Axial view; Brain; Slice index 73
FLAIR MR.
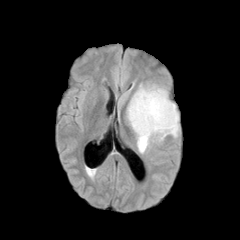
T1-weighted MR image.
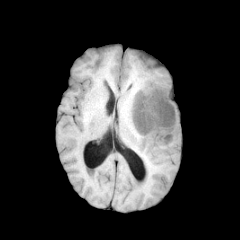
Post-contrast T1-weighted MR image.
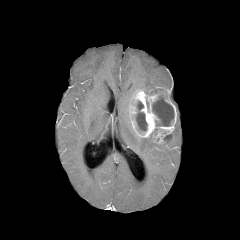
T2-weighted MRI.
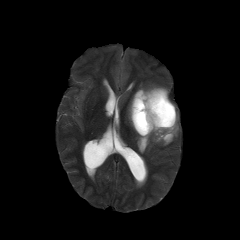
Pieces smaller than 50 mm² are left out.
The 4 largest peritumoral edema regions are located at box(136, 133, 158, 153); box(127, 98, 131, 126); box(138, 84, 158, 91); box(171, 113, 179, 137). The 2 largest necrotic tumor core regions are located at box(136, 101, 146, 131); box(152, 96, 173, 126). The enhancing tumor appears at box(129, 86, 177, 142).